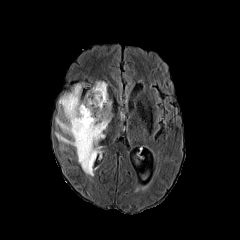
FLAIR magnetic resonance.
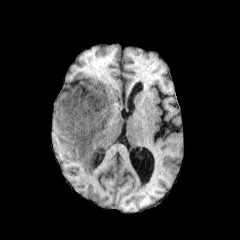
Same slice, T1-weighted MR image.
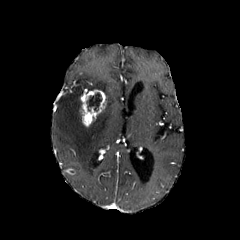
Same slice, post-contrast T1-weighted magnetic resonance.
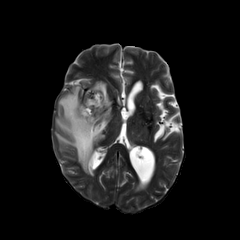
T2-weighted MRI.
Image size 240x240, Brain
necrotic tumor core: bounding box [x1=87, y1=93, x2=101, y2=111]
peritumoral edema: bounding box [x1=55, y1=81, x2=111, y2=176]
enhancing tumor: bounding box [x1=80, y1=89, x2=106, y2=126]